Brain.
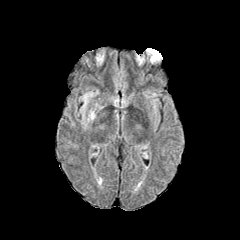
FLAIR MR.
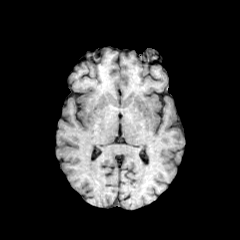
T1-weighted MR image of the same slice.
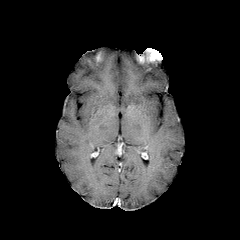
Post-contrast T1-weighted magnetic resonance.
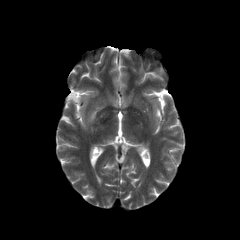
T2-weighted magnetic resonance.
Segmented structures:
* peritumoral edema: {"x1": 80, "y1": 90, "x2": 103, "y2": 126}